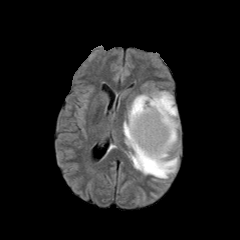
FLAIR magnetic resonance.
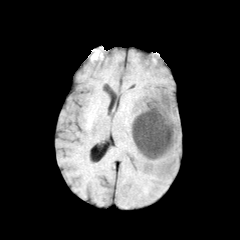
T1-weighted MR.
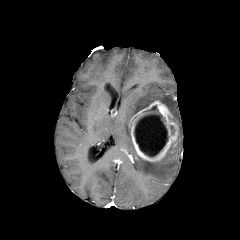
Same slice, post-contrast T1-weighted MR.
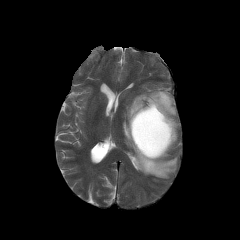
Same slice, T2-weighted MR.
Head
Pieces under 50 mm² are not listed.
{"necrotic_tumor_core": ["rect(134, 105, 167, 156)"], "peritumoral_edema": ["rect(123, 91, 179, 178)"], "enhancing_tumor": ["rect(129, 100, 178, 161)"]}